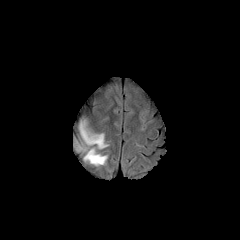
FLAIR MRI.
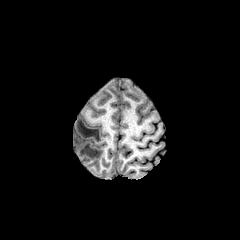
Same slice, T1-weighted magnetic resonance.
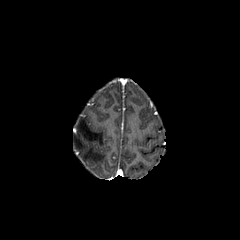
Post-contrast T1-weighted MR of the same slice.
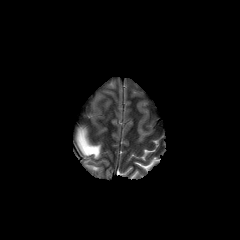
T2-weighted MR image.
Axial plane, 240x240 px
peritumoral edema — {"x1": 75, "y1": 122, "x2": 106, "y2": 165}